Image size 240x240, Head
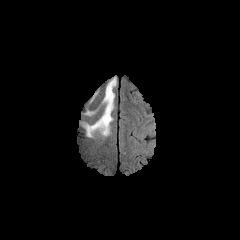
FLAIR MR image.
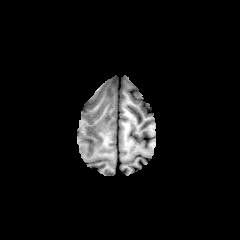
T1-weighted magnetic resonance.
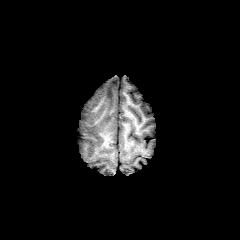
Same slice, post-contrast T1-weighted MR image.
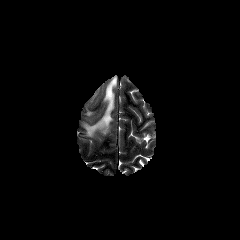
Same slice, T2-weighted MR.
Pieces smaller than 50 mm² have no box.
{
  "peritumoral_edema": [
    "85,78,116,136"
  ]
}